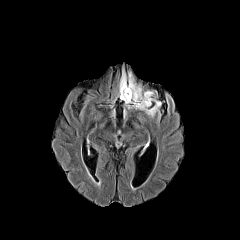
FLAIR magnetic resonance.
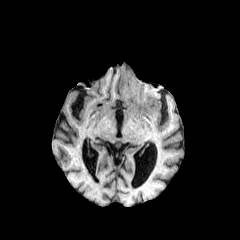
T1-weighted MR of the same slice.
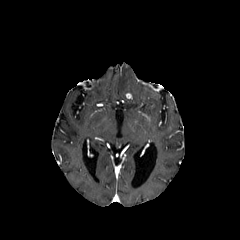
Post-contrast T1-weighted MR image of the same slice.
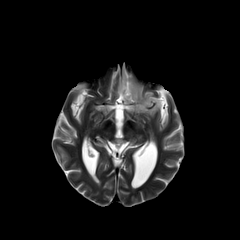
T2-weighted MR of the same slice.
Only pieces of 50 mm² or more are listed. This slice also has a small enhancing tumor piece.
Annotated regions:
* peritumoral edema: <bbox>118, 67, 161, 117</bbox>